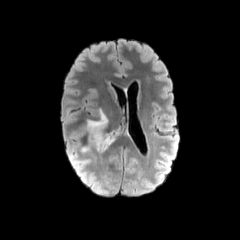
FLAIR MRI.
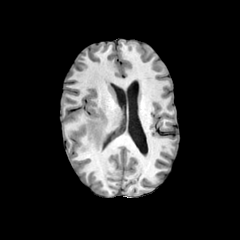
T1-weighted MRI.
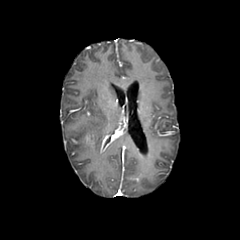
Same slice, post-contrast T1-weighted MRI.
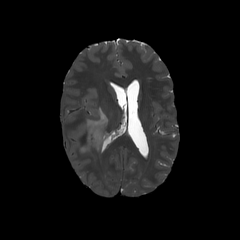
T2-weighted MRI of the same slice.
240x240
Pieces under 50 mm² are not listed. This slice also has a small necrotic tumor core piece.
peritumoral edema: {"x1": 87, "y1": 110, "x2": 107, "y2": 149} | enhancing tumor: {"x1": 102, "y1": 135, "x2": 109, "y2": 147}